Head
FLAIR MRI.
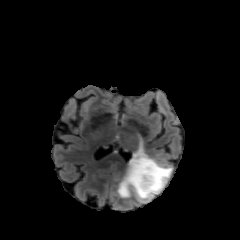
T1-weighted MR image.
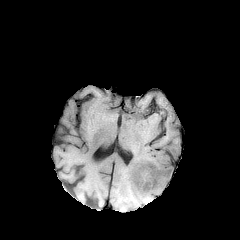
Post-contrast T1-weighted MR image.
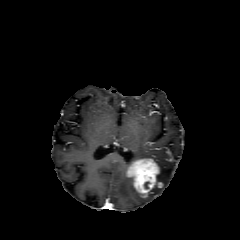
T2-weighted magnetic resonance.
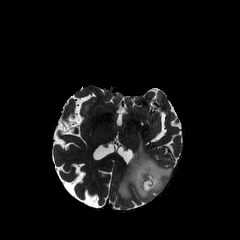
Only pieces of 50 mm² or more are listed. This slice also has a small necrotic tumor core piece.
enhancing tumor = [127,158,162,197]
peritumoral edema = [117,142,172,202]